FLAIR MRI.
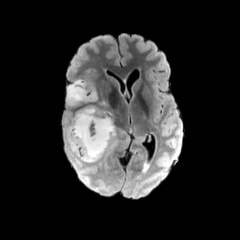
T1-weighted MR image.
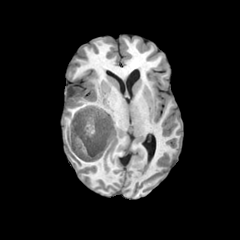
Post-contrast T1-weighted MR image.
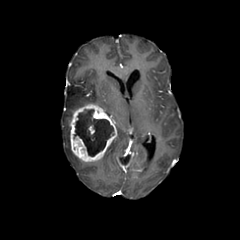
T2-weighted MRI.
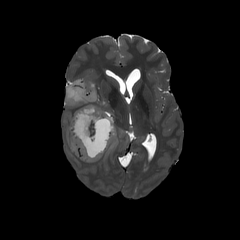
Axial slice.
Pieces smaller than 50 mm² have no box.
enhancing tumor = 70,104,117,161
peritumoral edema = 66,79,97,105
necrotic tumor core = 74,109,113,156